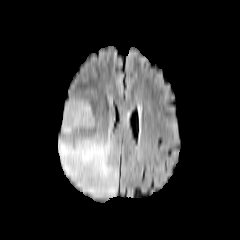
FLAIR MRI.
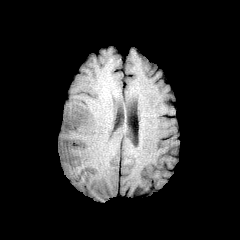
T1-weighted MR image.
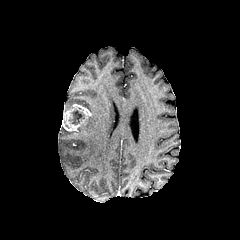
Same slice, post-contrast T1-weighted MRI.
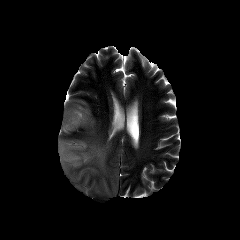
T2-weighted MR image.
Axial slice; Brain
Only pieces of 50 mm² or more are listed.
Segmented structures:
* enhancing tumor: [62, 104, 91, 131]
* necrotic tumor core: [69, 110, 84, 124]
* peritumoral edema: [78, 115, 94, 130], [58, 123, 117, 198], [63, 100, 90, 112]